FLAIR MR image.
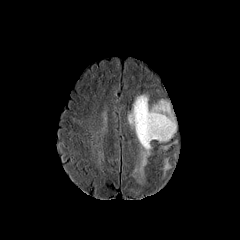
T1-weighted MRI.
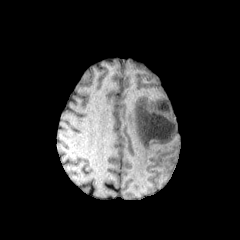
Post-contrast T1-weighted MR image.
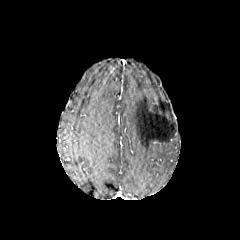
T2-weighted MRI.
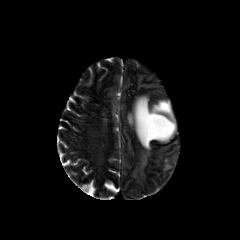
Image size 240x240
peritumoral edema: rect(128, 95, 176, 184); rect(161, 141, 176, 150); rect(163, 158, 170, 173)